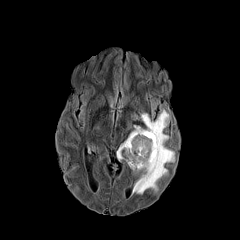
FLAIR MRI.
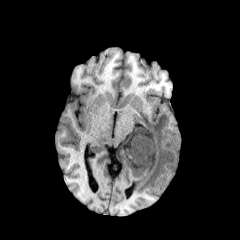
T1-weighted MR.
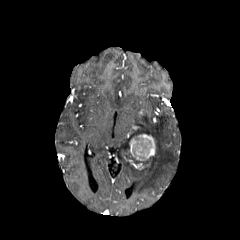
Post-contrast T1-weighted MR image.
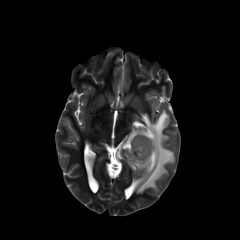
T2-weighted MR image.
Brain | Axial view
peritumoral edema = (117,109,175,194)
enhancing tumor = (129,160,145,169), (129,134,155,160)